240x240; Brain
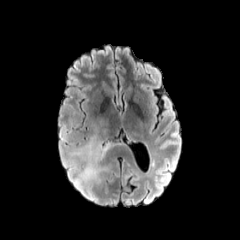
FLAIR MRI.
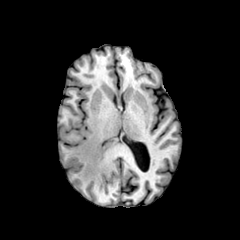
Same slice, T1-weighted MR.
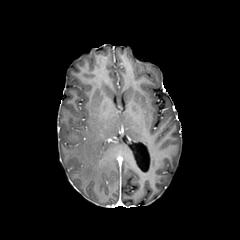
Post-contrast T1-weighted MRI.
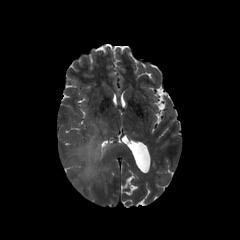
T2-weighted MRI of the same slice.
The peritumoral edema appears at rect(75, 134, 111, 182).